Slice 78/155, Image width 240 mm, 1.00 mm slice spacing, Axial view, Head
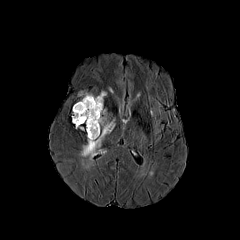
FLAIR MR.
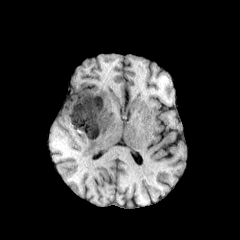
T1-weighted MR image.
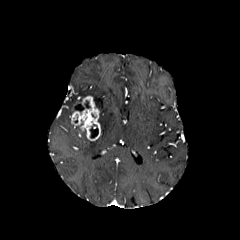
Post-contrast T1-weighted MR.
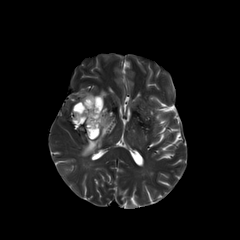
Same slice, T2-weighted MRI.
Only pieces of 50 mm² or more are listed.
necrotic tumor core — (74,103,84,111), (90,126,98,138)
peritumoral edema — (79,91,115,156)
enhancing tumor — (71,95,100,140)